Axial plane.
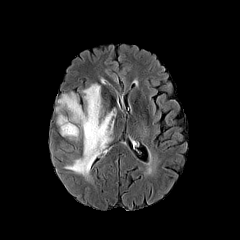
FLAIR magnetic resonance.
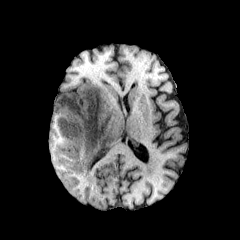
T1-weighted MRI of the same slice.
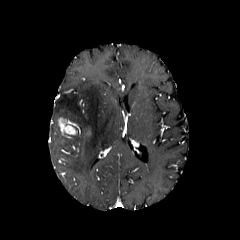
Post-contrast T1-weighted magnetic resonance.
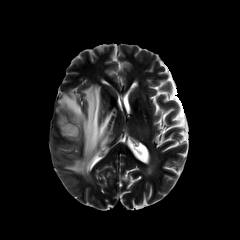
T2-weighted MRI.
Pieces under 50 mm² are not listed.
enhancing_tumor:
  - (58, 117, 77, 135)
peritumoral_edema:
  - (55, 84, 115, 178)